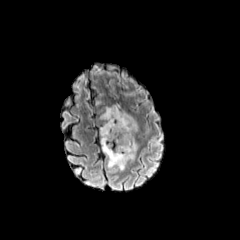
FLAIR MR.
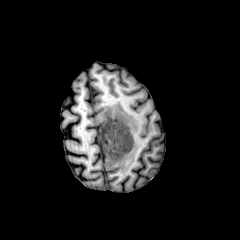
T1-weighted magnetic resonance.
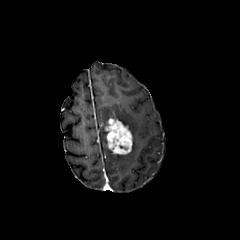
Post-contrast T1-weighted MRI.
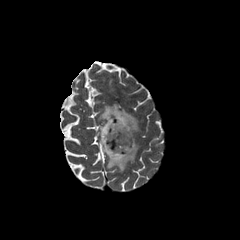
T2-weighted MRI of the same slice.
Axial plane | Image size 240x240
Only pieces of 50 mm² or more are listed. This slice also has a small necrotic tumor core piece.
Findings:
• peritumoral edema: (100, 104, 138, 170)
• enhancing tumor: (104, 117, 132, 155)